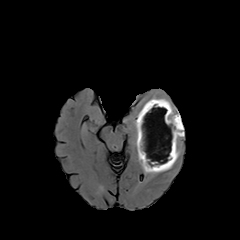
FLAIR MR.
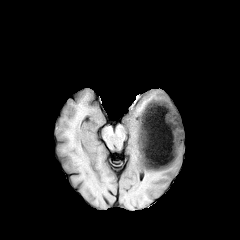
T1-weighted MR of the same slice.
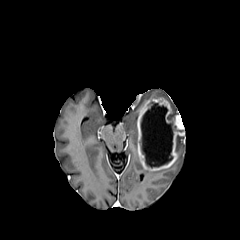
Same slice, post-contrast T1-weighted MRI.
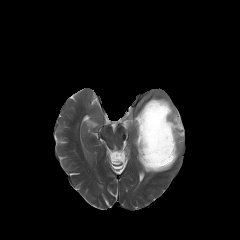
Same slice, T2-weighted MR image.
Head. Axial slice.
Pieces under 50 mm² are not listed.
peritumoral edema: [177, 137, 183, 157], [134, 113, 138, 148], [161, 97, 179, 114], [142, 165, 172, 174]
necrotic tumor core: [141, 102, 173, 167]
enhancing tumor: [137, 98, 184, 170]